FLAIR MRI.
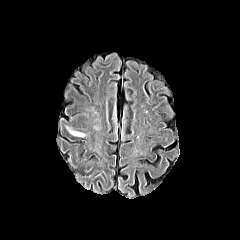
T1-weighted MR.
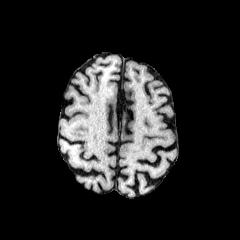
Post-contrast T1-weighted MR image.
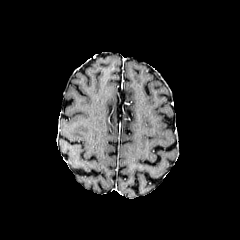
T2-weighted MR.
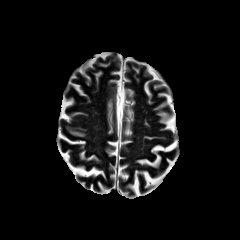
Head
The peritumoral edema is bounded by 69 130 84 136.